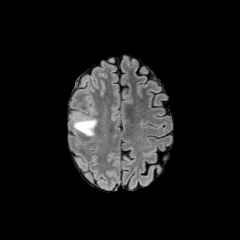
FLAIR MRI.
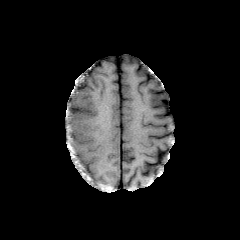
T1-weighted magnetic resonance.
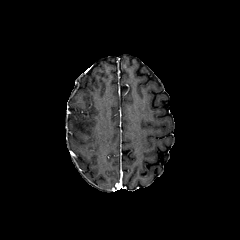
Post-contrast T1-weighted MR.
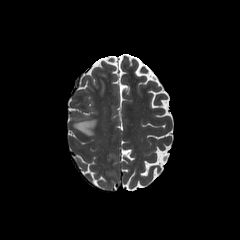
T2-weighted MR of the same slice.
Image size 240x240. Axial view. Brain.
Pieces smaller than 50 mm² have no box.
- peritumoral edema: <bbox>72, 113, 96, 135</bbox>